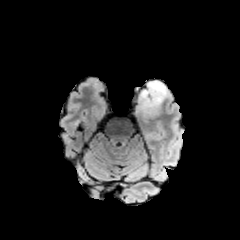
FLAIR MR image.
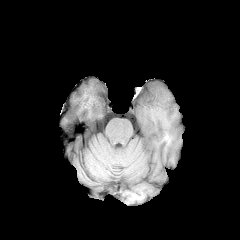
T1-weighted MRI.
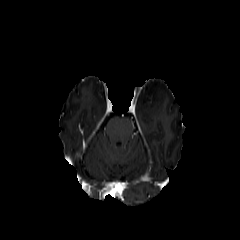
Same slice, post-contrast T1-weighted MR.
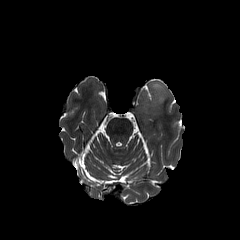
T2-weighted MR.
The peritumoral edema is bounded by 137, 82, 166, 114.